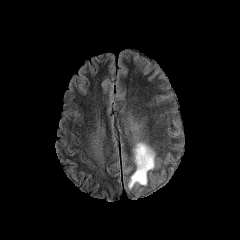
FLAIR magnetic resonance.
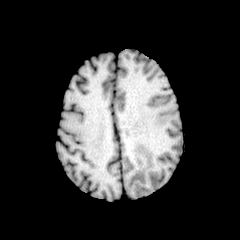
T1-weighted MRI.
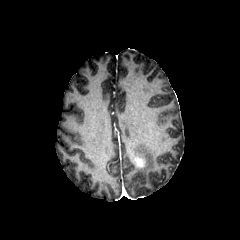
Post-contrast T1-weighted MR image.
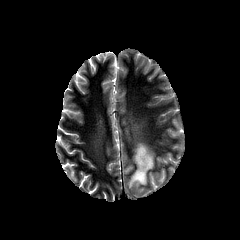
T2-weighted MR.
peritumoral edema — region(128, 143, 154, 188)
enhancing tumor — region(134, 156, 144, 168)